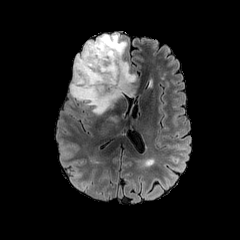
FLAIR MR image.
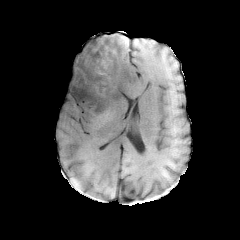
T1-weighted MRI.
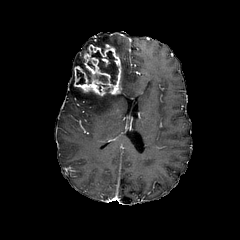
Post-contrast T1-weighted magnetic resonance.
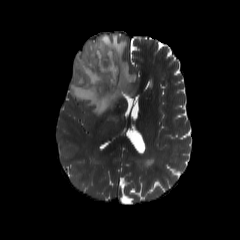
T2-weighted MR image.
Head
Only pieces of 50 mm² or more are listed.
enhancing_tumor:
  - rect(73, 43, 122, 96)
necrotic_tumor_core:
  - rect(91, 50, 118, 84)
  - rect(81, 66, 90, 80)
  - rect(76, 69, 84, 84)
peritumoral_edema:
  - rect(70, 34, 136, 115)